FLAIR MR image.
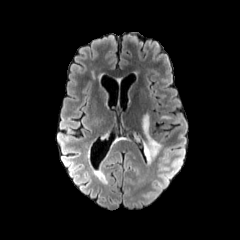
T1-weighted MR image.
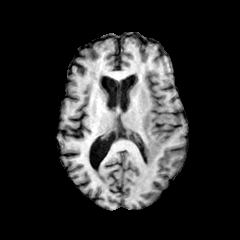
Post-contrast T1-weighted magnetic resonance.
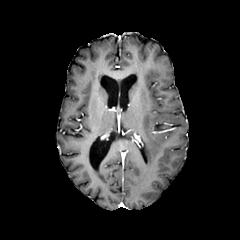
T2-weighted MRI.
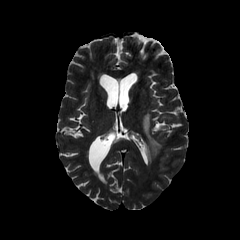
Image size 240x240
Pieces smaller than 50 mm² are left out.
peritumoral edema: bounding box 143 113 161 162